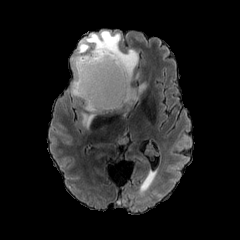
FLAIR MRI.
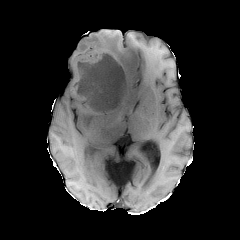
T1-weighted magnetic resonance.
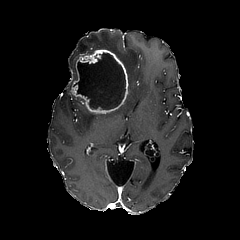
Post-contrast T1-weighted MRI.
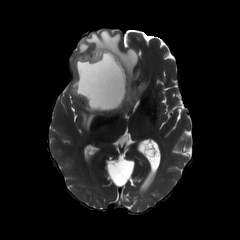
T2-weighted MR image of the same slice.
Axial view
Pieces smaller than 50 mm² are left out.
necrotic tumor core: left=76, top=52, right=125, bottom=109
enhancing tumor: left=71, top=49, right=129, bottom=114
peritumoral edema: left=81, top=112, right=95, bottom=128; left=70, top=30, right=146, bottom=114